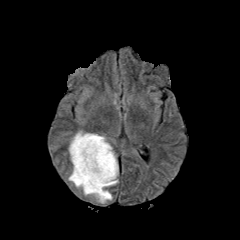
FLAIR MRI.
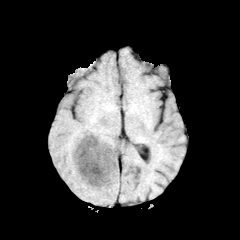
T1-weighted magnetic resonance.
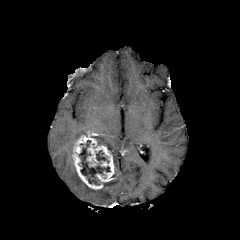
Post-contrast T1-weighted MR.
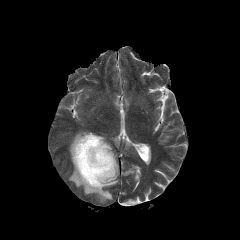
Same slice, T2-weighted MR.
Brain
The peritumoral edema appears at (left=68, top=131, right=118, bottom=203). The enhancing tumor lies within (left=72, top=132, right=116, bottom=190). 2 necrotic tumor core regions are bounded by (left=96, top=150, right=106, bottom=160), (left=79, top=140, right=110, bottom=185).